Head | Image covers 240 mm x 240 mm
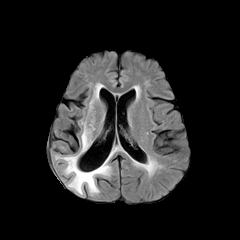
FLAIR MR.
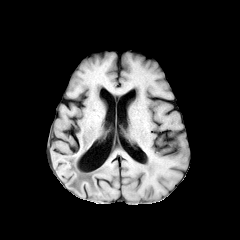
Same slice, T1-weighted magnetic resonance.
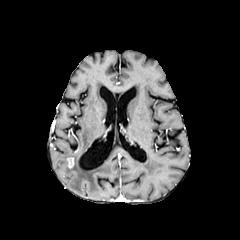
Post-contrast T1-weighted MR image.
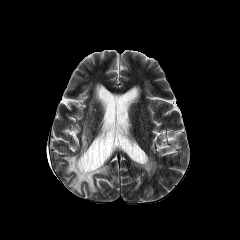
Same slice, T2-weighted magnetic resonance.
enhancing tumor: box=[67, 157, 74, 168]
peritumoral edema: box=[55, 122, 117, 193]; box=[89, 85, 100, 109]